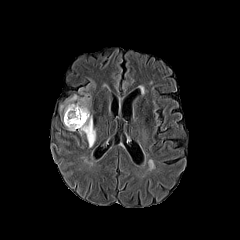
FLAIR MR image.
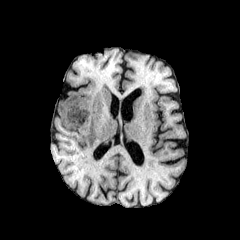
T1-weighted MR image.
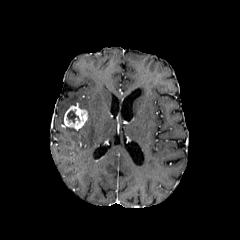
Post-contrast T1-weighted MRI.
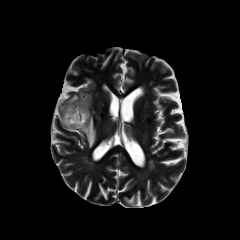
T2-weighted magnetic resonance.
Image size 240x240 | Brain | Axial view
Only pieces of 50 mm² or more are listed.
The largest peritumoral edema region appears at [x1=60, y1=85, x2=95, y2=147]. The necrotic tumor core is at [x1=67, y1=110, x2=79, y2=123]. The enhancing tumor appears at [x1=64, y1=104, x2=87, y2=129].